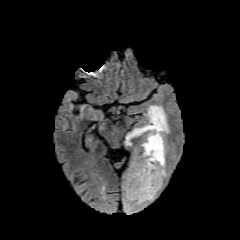
FLAIR MRI.
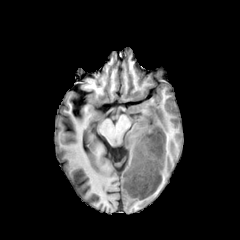
T1-weighted magnetic resonance of the same slice.
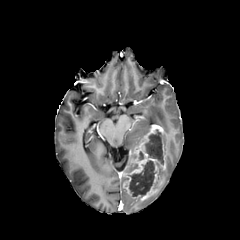
Same slice, post-contrast T1-weighted MR image.
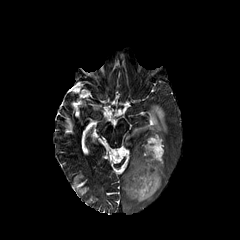
T2-weighted MR image of the same slice.
Brain.
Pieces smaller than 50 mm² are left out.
• necrotic tumor core: {"x1": 129, "y1": 160, "x2": 156, "y2": 196}, {"x1": 145, "y1": 129, "x2": 163, "y2": 164}
• enhancing tumor: {"x1": 123, "y1": 124, "x2": 165, "y2": 200}
• peritumoral edema: {"x1": 125, "y1": 105, "x2": 169, "y2": 145}, {"x1": 122, "y1": 185, "x2": 155, "y2": 212}, {"x1": 158, "y1": 169, "x2": 166, "y2": 190}